Slice 102/155.
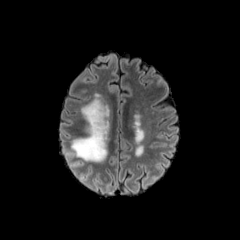
FLAIR magnetic resonance.
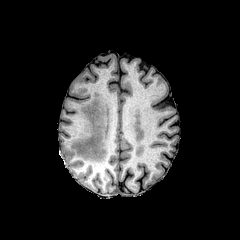
T1-weighted MR image of the same slice.
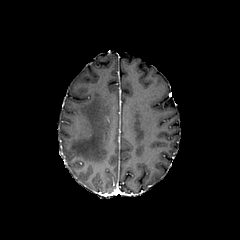
Post-contrast T1-weighted MRI.
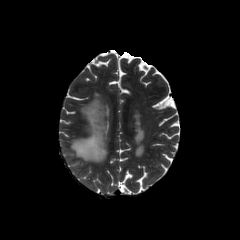
Same slice, T2-weighted MRI.
peritumoral_edema:
  - x1=71, y1=99, x2=110, y2=162